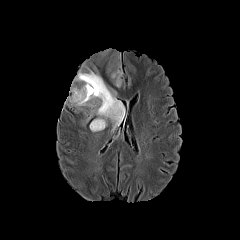
FLAIR magnetic resonance.
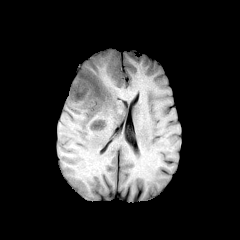
T1-weighted MR.
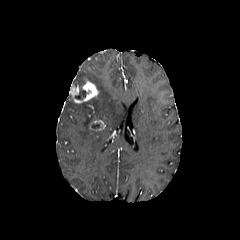
Same slice, post-contrast T1-weighted magnetic resonance.
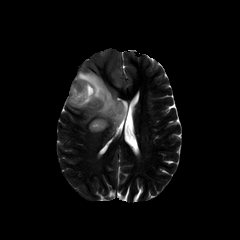
T2-weighted MR image of the same slice.
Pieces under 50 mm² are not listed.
Annotated regions:
- necrotic tumor core: 75,88,92,99
- enhancing tumor: 69,78,99,103; 89,120,105,131
- peritumoral edema: 66,49,126,131